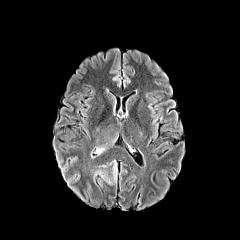
FLAIR magnetic resonance.
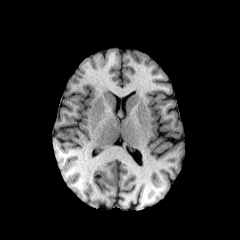
T1-weighted MR image.
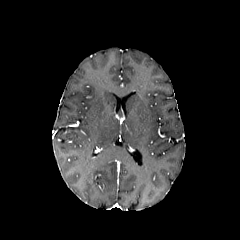
Same slice, post-contrast T1-weighted magnetic resonance.
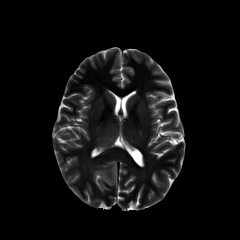
Same slice, T2-weighted magnetic resonance.
Axial view
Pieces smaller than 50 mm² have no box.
Findings:
* peritumoral edema: (113,164,116,179)